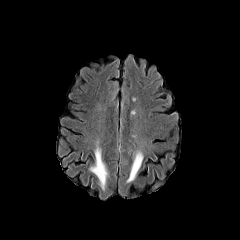
FLAIR MRI.
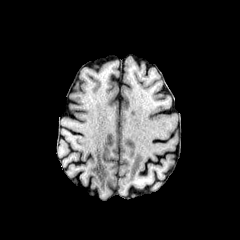
T1-weighted MR image.
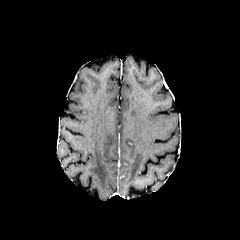
Same slice, post-contrast T1-weighted MR.
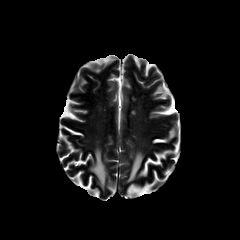
T2-weighted MR.
Axial slice.
peritumoral edema: l=126, t=150, r=143, b=182; l=89, t=145, r=108, b=190